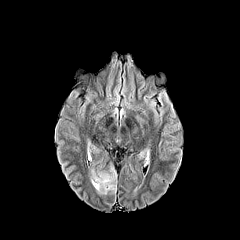
FLAIR MR image.
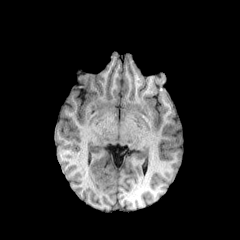
T1-weighted MR.
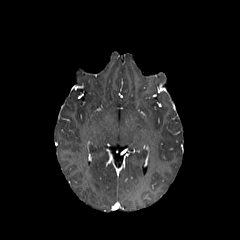
Post-contrast T1-weighted MR image.
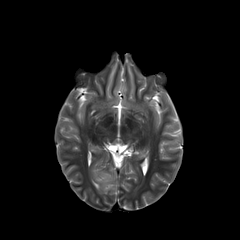
T2-weighted MR image.
Brain
<segmentation>
  <peritumoral_edema>90 168 116 194</peritumoral_edema>
</segmentation>